FLAIR magnetic resonance.
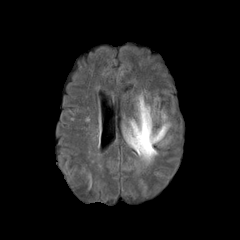
T1-weighted MRI.
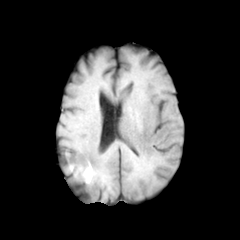
Post-contrast T1-weighted magnetic resonance.
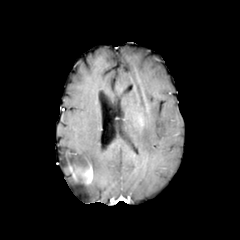
T2-weighted MR.
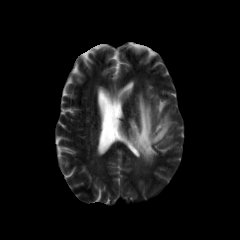
Head
- peritumoral edema: x1=123, y1=93, x2=171, y2=164